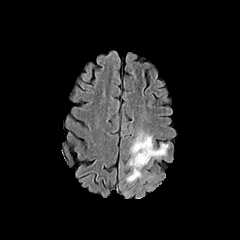
FLAIR MR.
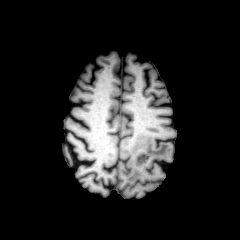
T1-weighted magnetic resonance.
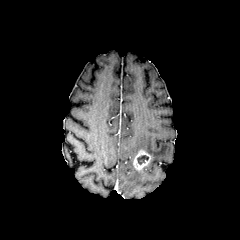
Same slice, post-contrast T1-weighted MRI.
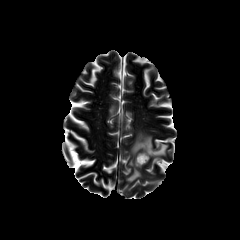
Same slice, T2-weighted MR.
necrotic tumor core: (x1=137, y1=155, x2=148, y2=164)
enhancing tumor: (x1=133, y1=150, x2=150, y2=170)
peritumoral edema: (x1=126, y1=131, x2=169, y2=183)